FLAIR MR image.
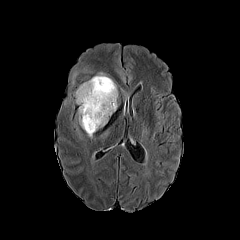
T1-weighted MRI.
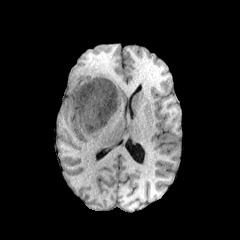
Post-contrast T1-weighted MR.
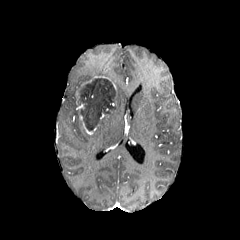
T2-weighted MRI.
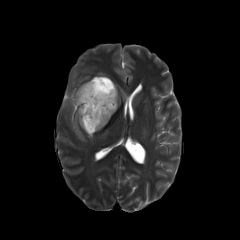
Axial view, Brain
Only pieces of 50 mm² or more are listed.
peritumoral edema — (109,88,118,115), (78,109,83,128), (96,116,108,130)
necrotic tumor core — (78,78,115,130)
enhancing tumor — (82,76,116,90), (83,122,96,134)